Image covers 240 mm x 240 mm | 240x240 | Axial view | Slice 93/155
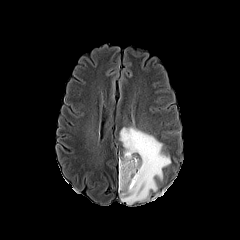
FLAIR MR image.
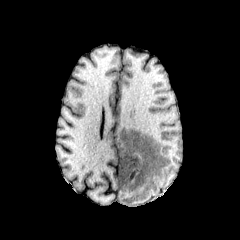
T1-weighted MR image.
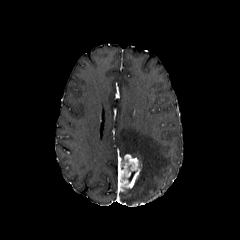
Post-contrast T1-weighted magnetic resonance.
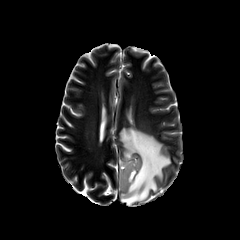
Same slice, T2-weighted MR image.
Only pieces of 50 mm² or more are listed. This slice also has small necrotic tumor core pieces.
enhancing tumor — [x1=118, y1=154, x2=141, y2=191]
peritumoral edema — [x1=119, y1=126, x2=170, y2=204]